Head | Slice index 103
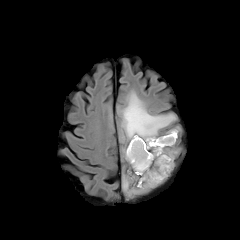
FLAIR MRI.
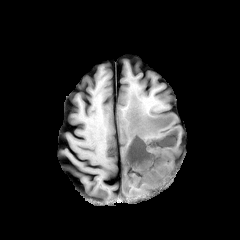
T1-weighted magnetic resonance.
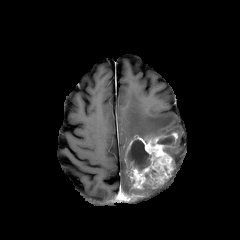
Post-contrast T1-weighted MR.
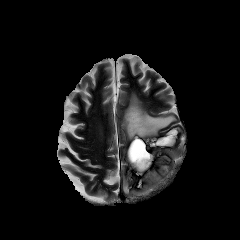
Same slice, T2-weighted MR image.
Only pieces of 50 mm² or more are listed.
The enhancing tumor appears at 125,132,177,189. The 2 largest necrotic tumor core regions appear at 128,140,150,170; 157,136,174,144. The 4 largest peritumoral edema regions are bounded by 164,148,177,158; 166,127,179,134; 122,175,151,196; 121,93,175,141.